FLAIR MR.
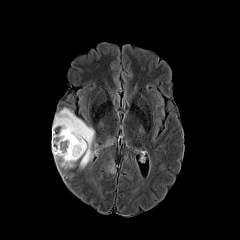
T1-weighted MR.
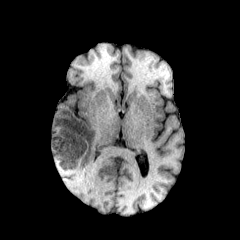
Post-contrast T1-weighted MRI.
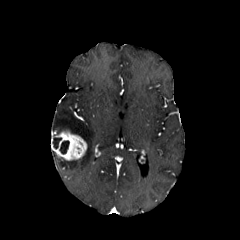
T2-weighted MR.
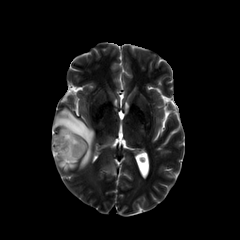
peritumoral edema: 53:151:77:168, 52:107:94:169
enhancing tumor: 52:130:86:160
necrotic tumor core: 60:140:69:153, 53:137:61:148